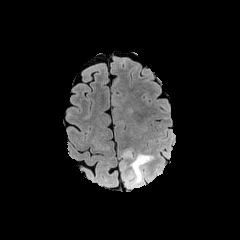
FLAIR magnetic resonance.
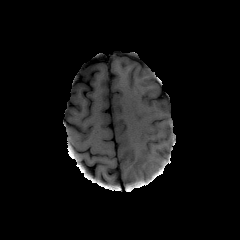
T1-weighted MR image.
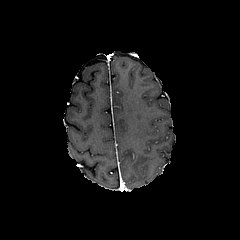
Same slice, post-contrast T1-weighted MRI.
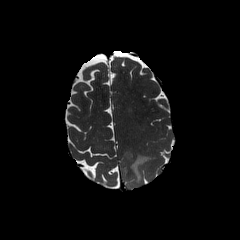
T2-weighted MR.
Head | 240x240
<segmentation>
  <peritumoral_edema>122 149 132 163, 122 153 154 189</peritumoral_edema>
</segmentation>